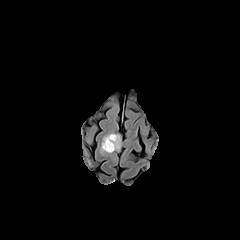
FLAIR MR.
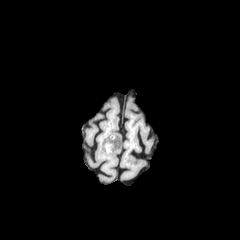
T1-weighted MRI of the same slice.
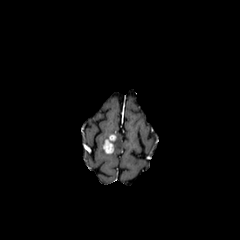
Post-contrast T1-weighted magnetic resonance.
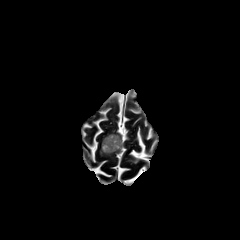
T2-weighted MR of the same slice.
Head
peritumoral edema: bounding box 100, 133, 121, 155
enhancing tumor: bounding box 103, 134, 116, 153